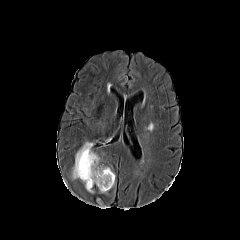
FLAIR magnetic resonance.
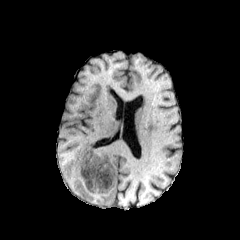
T1-weighted magnetic resonance of the same slice.
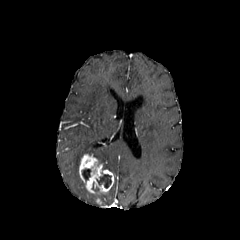
Post-contrast T1-weighted MRI.
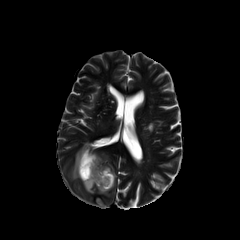
T2-weighted MR of the same slice.
Brain
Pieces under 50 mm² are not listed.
enhancing tumor = 79:153:114:193
peritumoral edema = 72:142:99:179
necrotic tumor core = 98:174:111:188, 82:169:90:180